Brain | Slice index 84
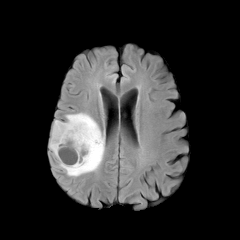
FLAIR MR image.
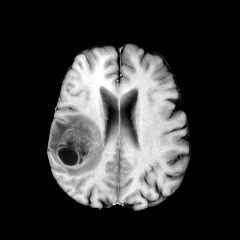
T1-weighted magnetic resonance.
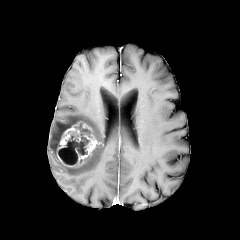
Same slice, post-contrast T1-weighted MRI.
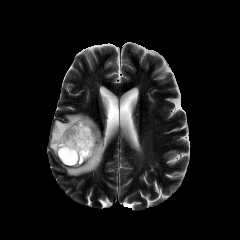
T2-weighted MR image of the same slice.
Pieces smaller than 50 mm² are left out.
peritumoral edema: 49, 113, 104, 176
necrotic tumor core: 58, 124, 91, 165
enhancing tumor: 56, 121, 99, 167